FLAIR MRI.
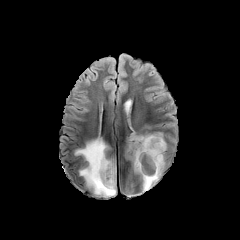
T1-weighted magnetic resonance.
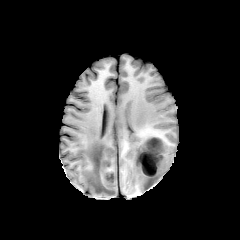
Post-contrast T1-weighted MRI.
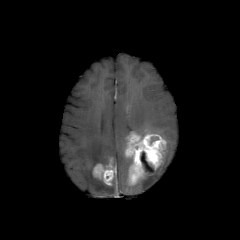
T2-weighted magnetic resonance.
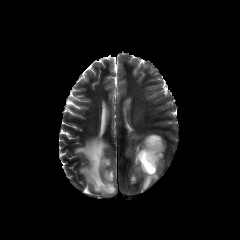
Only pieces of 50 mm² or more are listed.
<segmentation>
  <enhancing_tumor>x1=125, y1=133, x2=165, y2=183; x1=92, y1=160, x2=116, y2=185</enhancing_tumor>
  <peritumoral_edema>x1=140, y1=153, x2=165, y2=191; x1=75, y1=137, x2=116, y2=197</peritumoral_edema>
  <necrotic_tumor_core>x1=141, y1=152, x2=155, y2=174</necrotic_tumor_core>
</segmentation>